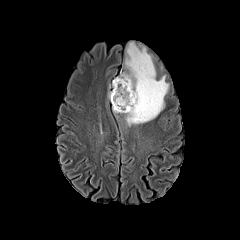
FLAIR MRI.
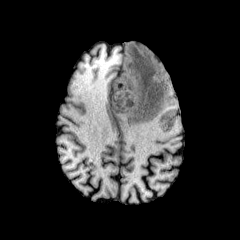
T1-weighted MR image.
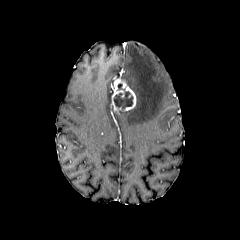
Post-contrast T1-weighted magnetic resonance.
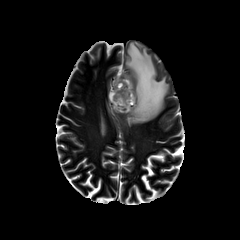
T2-weighted magnetic resonance of the same slice.
Image size 240x240, Brain
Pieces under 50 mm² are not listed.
{
  "enhancing_tumor": [
    "(left=111, top=76, right=136, bottom=112)"
  ],
  "necrotic_tumor_core": [
    "(left=114, top=91, right=132, bottom=109)"
  ],
  "peritumoral_edema": [
    "(left=119, top=42, right=168, bottom=125)"
  ]
}